Axial slice, Head
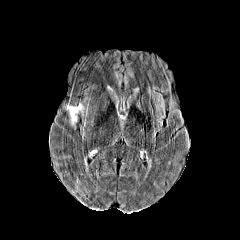
FLAIR MR image.
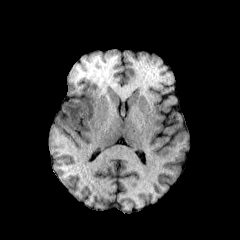
T1-weighted MRI.
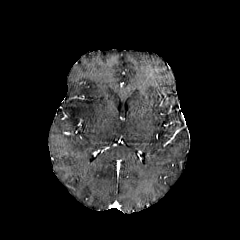
Post-contrast T1-weighted MR image of the same slice.
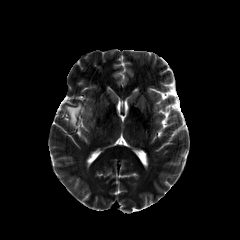
T2-weighted MR image.
peritumoral_edema:
  - l=66, t=104, r=83, b=124